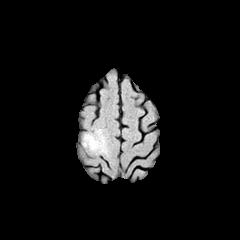
FLAIR magnetic resonance.
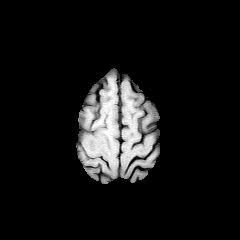
Same slice, T1-weighted MRI.
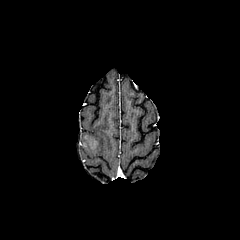
Post-contrast T1-weighted magnetic resonance.
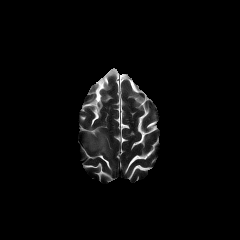
T2-weighted MR of the same slice.
Axial view
Segmented structures:
* peritumoral edema: [80,127,110,157]
* enhancing tumor: [82,135,100,149]